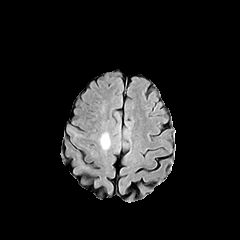
FLAIR magnetic resonance.
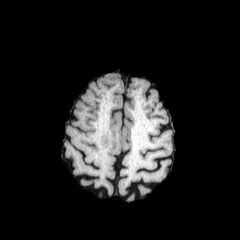
Same slice, T1-weighted MR.
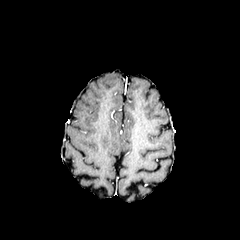
Post-contrast T1-weighted magnetic resonance.
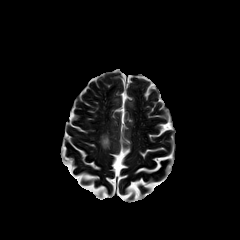
T2-weighted magnetic resonance of the same slice.
Segmented structures:
• peritumoral edema: x1=99 y1=132 x2=110 y2=150